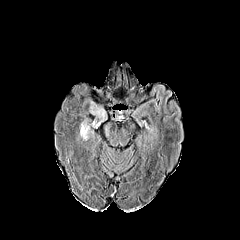
FLAIR MR.
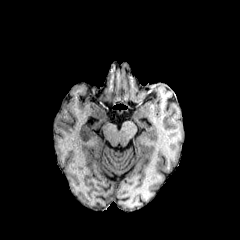
Same slice, T1-weighted MR image.
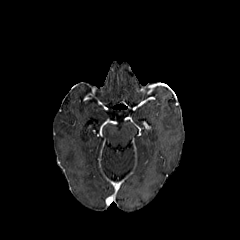
Post-contrast T1-weighted magnetic resonance.
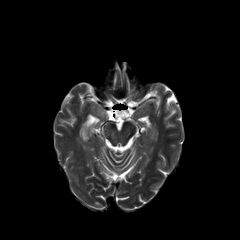
T2-weighted MR.
Axial view | Head
peritumoral edema at box(80, 103, 106, 140)